FLAIR MR image.
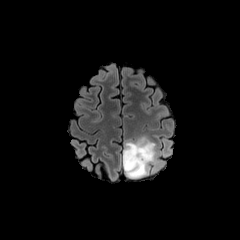
T1-weighted MRI.
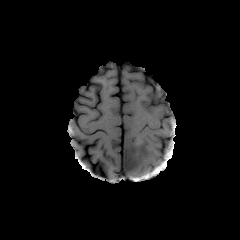
Post-contrast T1-weighted MRI.
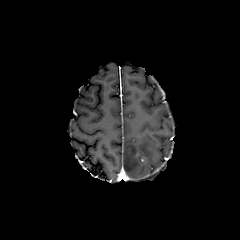
T2-weighted magnetic resonance.
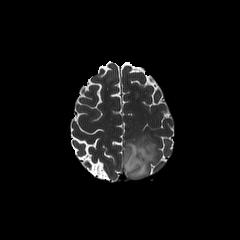
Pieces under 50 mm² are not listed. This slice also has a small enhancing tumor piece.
{
  "peritumoral_edema": [
    "122 136 163 179"
  ]
}